Axial plane. Image covers 240 mm x 240 mm.
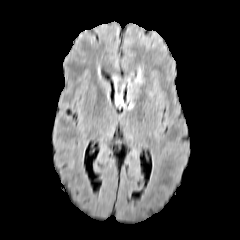
FLAIR magnetic resonance.
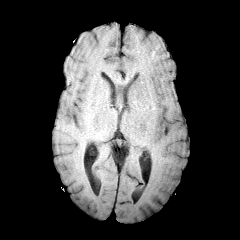
T1-weighted MRI of the same slice.
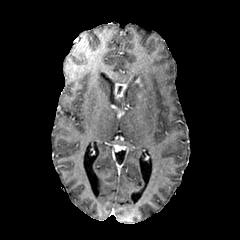
Same slice, post-contrast T1-weighted MRI.
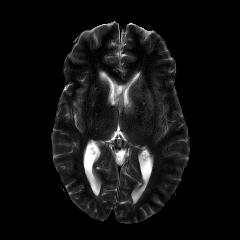
Same slice, T2-weighted MR image.
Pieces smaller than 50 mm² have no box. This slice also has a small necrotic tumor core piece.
{"enhancing_tumor": ["<box>115,83,125,99</box>"], "peritumoral_edema": ["<box>126,93,133,109</box>", "<box>115,98,123,107</box>"]}